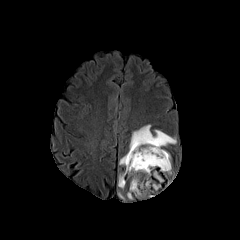
FLAIR MR.
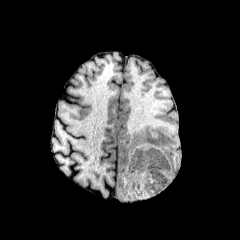
T1-weighted MR image.
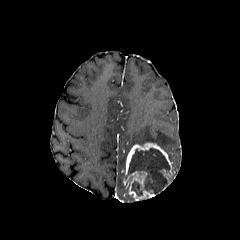
Post-contrast T1-weighted magnetic resonance.
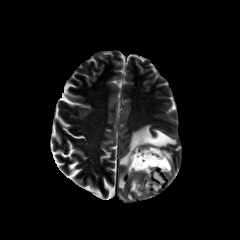
T2-weighted MRI of the same slice.
Axial slice
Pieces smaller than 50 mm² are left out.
2 necrotic tumor core regions appear at 128, 148, 169, 192; 131, 181, 142, 195. The largest enhancing tumor region is located at 123, 142, 172, 199. The 3 largest peritumoral edema regions appear at 129, 124, 176, 150; 119, 153, 127, 165; 118, 173, 124, 190.